FLAIR MRI.
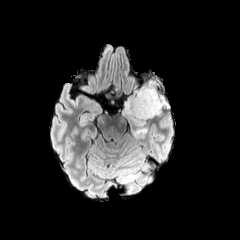
T1-weighted MR image.
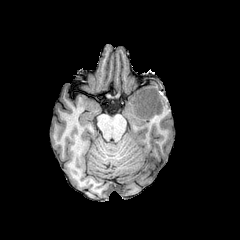
Post-contrast T1-weighted MR image.
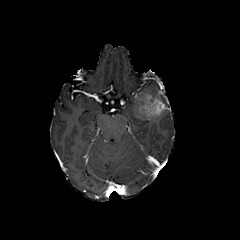
T2-weighted MR image.
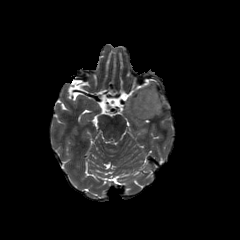
Head
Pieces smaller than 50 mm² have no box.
peritumoral_edema:
  - <bbox>132, 126, 148, 136</bbox>
  - <bbox>122, 80, 158, 126</bbox>
enhancing_tumor:
  - <bbox>136, 90, 168, 118</bbox>
necrotic_tumor_core:
  - <bbox>146, 94, 155, 106</bbox>